FLAIR MR image.
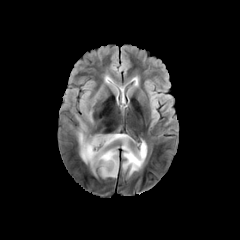
T1-weighted MR image.
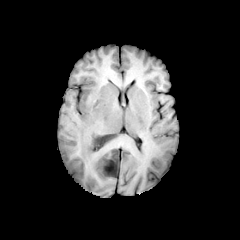
Post-contrast T1-weighted MR.
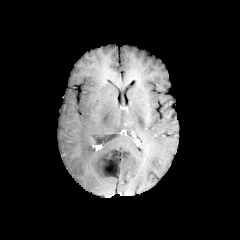
T2-weighted MR.
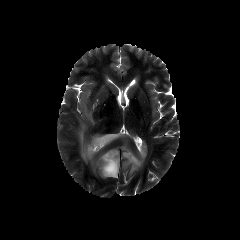
Brain.
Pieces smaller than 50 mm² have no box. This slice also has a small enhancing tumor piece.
2 necrotic tumor core regions appear at (103, 151, 118, 176), (92, 135, 110, 142). The largest peritumoral edema region appears at (78, 121, 147, 178).